240x240 px | Axial plane | Image covers 240 mm x 240 mm | Slice 40 of 155 | Brain
FLAIR MRI.
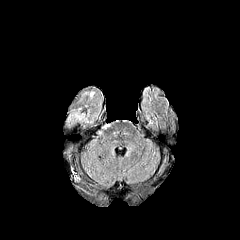
T1-weighted MRI.
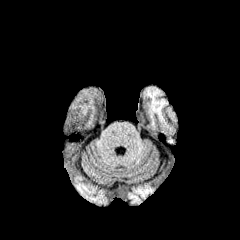
Post-contrast T1-weighted MR image.
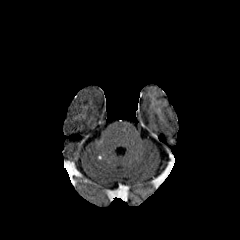
T2-weighted MR image.
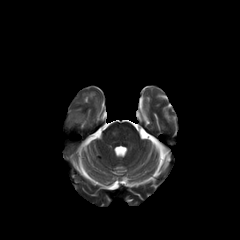
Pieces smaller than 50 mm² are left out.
Segmented structures:
- peritumoral edema: left=72, top=113, right=84, bottom=120